Slice 94 of 155; Image width 240 mm
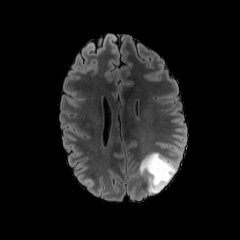
FLAIR MRI.
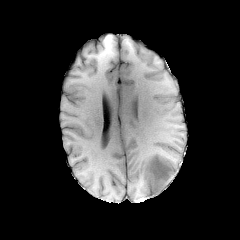
Same slice, T1-weighted MR.
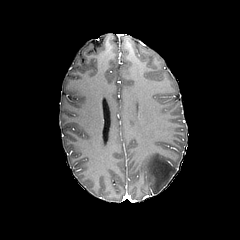
Same slice, post-contrast T1-weighted magnetic resonance.
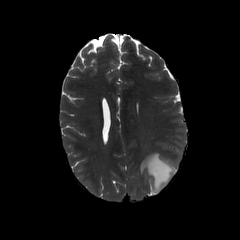
Same slice, T2-weighted MR.
peritumoral edema = box=[139, 152, 177, 193]